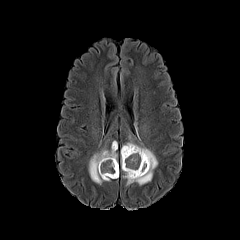
FLAIR MRI.
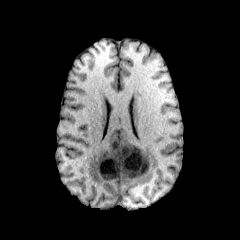
T1-weighted MR image.
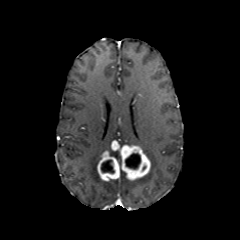
Post-contrast T1-weighted MR of the same slice.
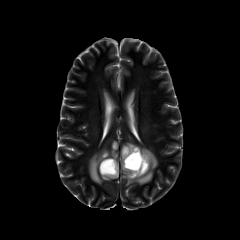
T2-weighted MR.
Head.
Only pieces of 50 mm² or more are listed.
{"enhancing_tumor": ["111 140 118 150", "97 151 119 181", "120 145 150 180"], "peritumoral_edema": ["124 135 136 144", "109 149 117 159", "126 143 157 185", "88 146 108 184"], "necrotic_tumor_core": ["101 160 114 173", "125 153 140 169"]}